FLAIR MR.
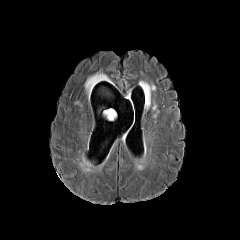
T1-weighted magnetic resonance.
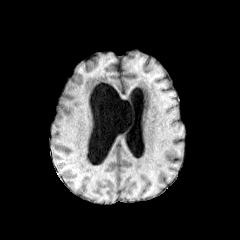
Post-contrast T1-weighted magnetic resonance.
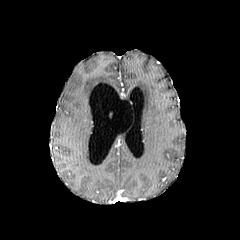
T2-weighted MRI.
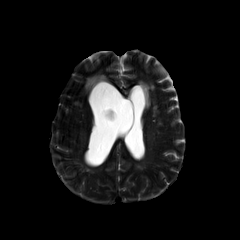
Axial plane, Head
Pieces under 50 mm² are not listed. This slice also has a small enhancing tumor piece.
peritumoral edema: bounding box <box>85,73,112,97</box>, <box>104,109,115,120</box>